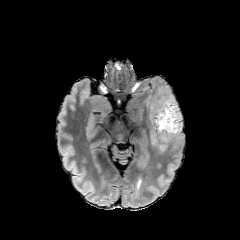
FLAIR MRI.
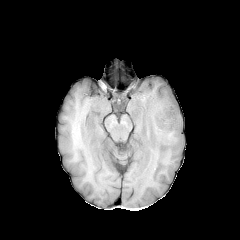
T1-weighted MR image.
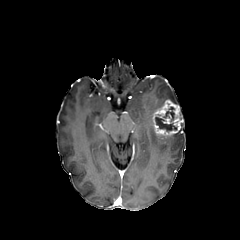
Post-contrast T1-weighted MR image.
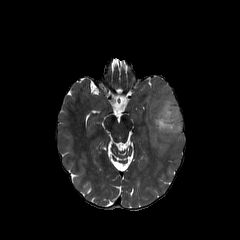
T2-weighted MR image.
Brain, Axial view
2 necrotic tumor core regions are located at box=[155, 117, 177, 131]; box=[163, 107, 174, 121]. The peritumoral edema lies within box=[146, 85, 183, 153]. The enhancing tumor appears at box=[152, 99, 182, 137].